Image size 240x240, Image width 240 mm, Axial view, Brain
FLAIR MRI.
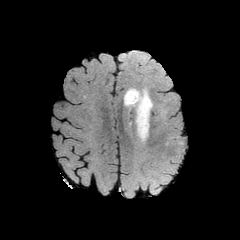
T1-weighted MR.
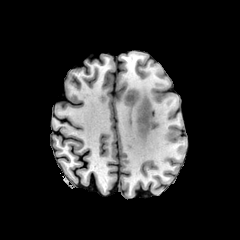
Post-contrast T1-weighted MR.
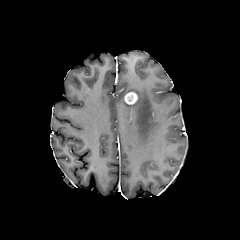
T2-weighted MR image.
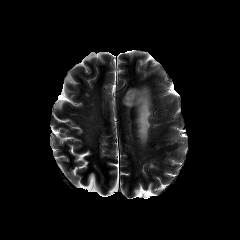
enhancing tumor: x1=124, y1=92, x2=137, y2=104
peritumoral edema: x1=124, y1=87, x2=152, y2=143